Axial view. 240x240.
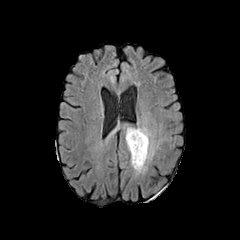
FLAIR MR.
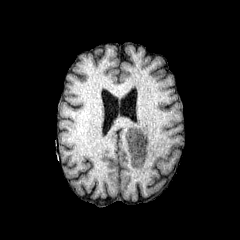
T1-weighted MR.
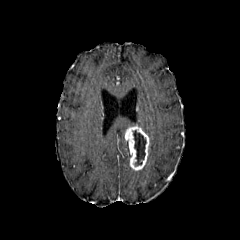
Post-contrast T1-weighted magnetic resonance.
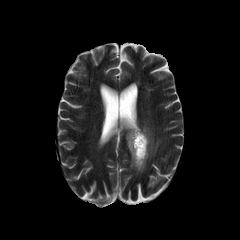
T2-weighted MR image of the same slice.
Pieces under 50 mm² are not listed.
The largest peritumoral edema region is at <box>135,125,159,174</box>. The enhancing tumor is bounded by <box>125,125,149,170</box>. The necrotic tumor core appears at <box>133,130,146,165</box>.